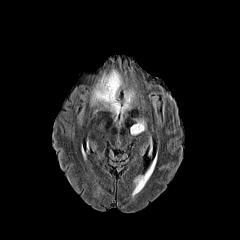
FLAIR MR.
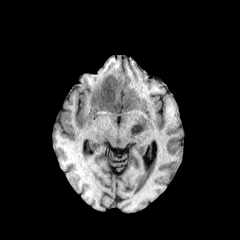
T1-weighted MRI of the same slice.
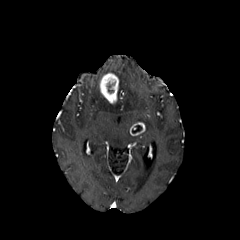
Post-contrast T1-weighted magnetic resonance.
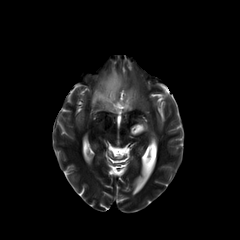
Same slice, T2-weighted magnetic resonance.
Axial view; Head
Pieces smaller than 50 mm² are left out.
{"necrotic_tumor_core": ["132,125,142,133"], "enhancing_tumor": ["99,73,118,103", "130,122,145,135"], "peritumoral_edema": ["109,68,123,96", "91,78,135,120"]}